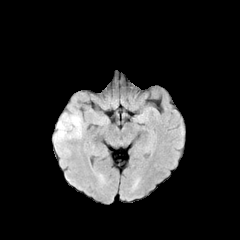
FLAIR magnetic resonance.
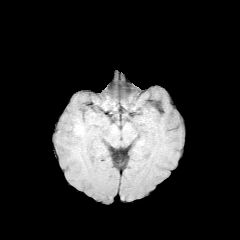
T1-weighted magnetic resonance.
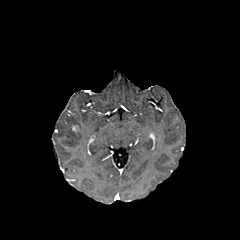
Same slice, post-contrast T1-weighted MR.
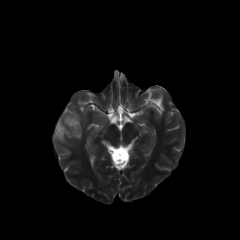
T2-weighted MR.
240x240 px
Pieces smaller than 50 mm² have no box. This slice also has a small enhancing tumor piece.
peritumoral edema at 53, 97, 84, 155